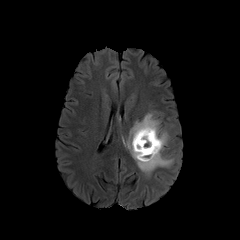
FLAIR MR.
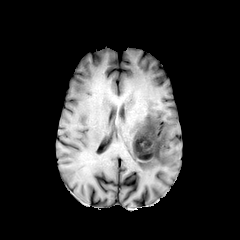
Same slice, T1-weighted magnetic resonance.
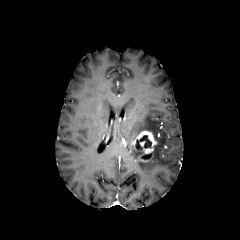
Post-contrast T1-weighted MR of the same slice.
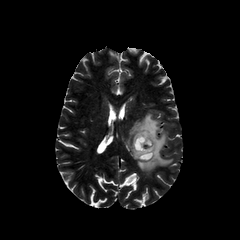
Same slice, T2-weighted magnetic resonance.
Axial plane, Brain
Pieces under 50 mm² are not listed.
The largest necrotic tumor core region lies within region(135, 135, 151, 150). The peritumoral edema is bounded by region(127, 113, 173, 174). The largest enhancing tumor region lies within region(132, 130, 157, 161).